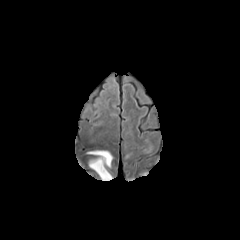
FLAIR MRI.
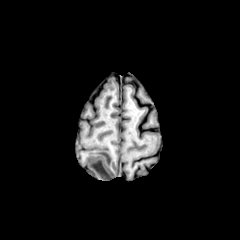
T1-weighted MR.
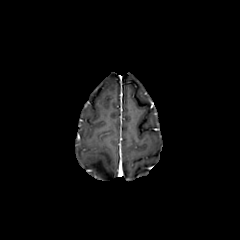
Same slice, post-contrast T1-weighted MR image.
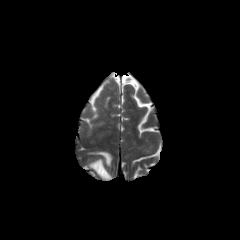
T2-weighted MR image.
Brain, 240x240
The peritumoral edema appears at l=88, t=151, r=112, b=180.